FLAIR MRI.
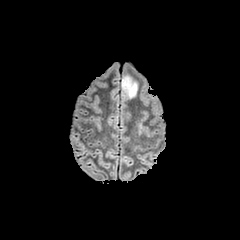
T1-weighted magnetic resonance.
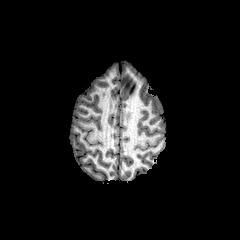
Post-contrast T1-weighted MRI.
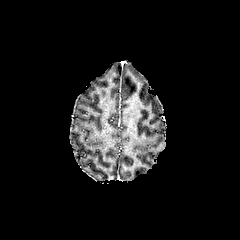
T2-weighted MR.
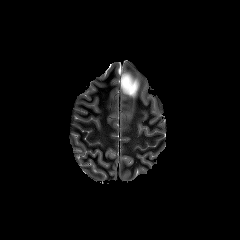
Brain, Axial slice
The peritumoral edema is bounded by (122,74,138,97).